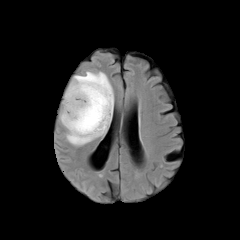
FLAIR magnetic resonance.
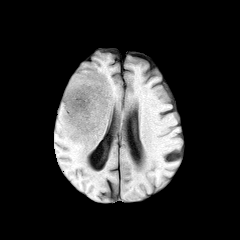
T1-weighted MRI.
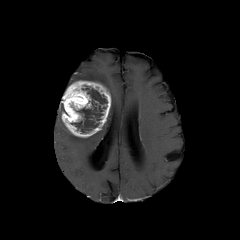
Post-contrast T1-weighted magnetic resonance.
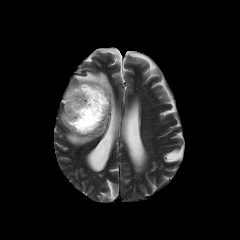
Same slice, T2-weighted MRI.
Head. Image size 240x240.
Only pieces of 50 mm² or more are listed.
{
  "necrotic_tumor_core": [
    "71:87:107:132"
  ],
  "peritumoral_edema": [
    "60:71:114:145"
  ],
  "enhancing_tumor": [
    "61:80:111:137"
  ]
}